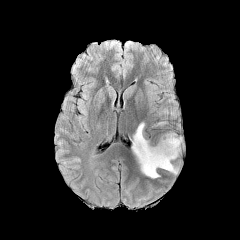
FLAIR MR image.
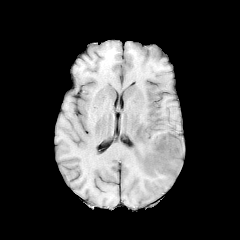
T1-weighted MRI.
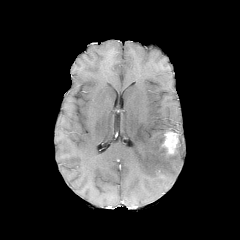
Post-contrast T1-weighted MR image.
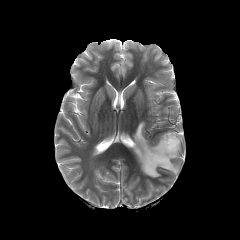
Same slice, T2-weighted MRI.
Head
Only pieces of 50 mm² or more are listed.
enhancing_tumor:
  - <box>161,131,179,156</box>
peritumoral_edema:
  - <box>132,122,181,178</box>